240x240 | Head
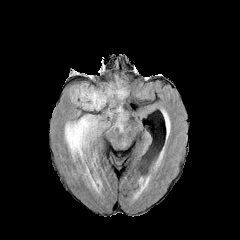
FLAIR magnetic resonance.
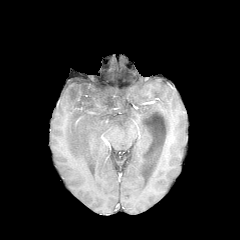
T1-weighted MRI.
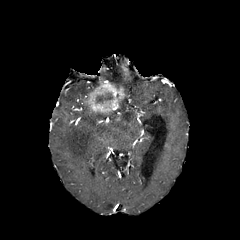
Post-contrast T1-weighted MRI of the same slice.
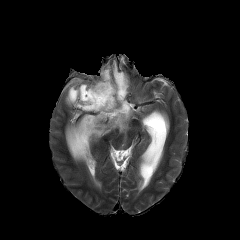
T2-weighted magnetic resonance of the same slice.
necrotic_tumor_core:
  - (97, 95, 112, 101)
enhancing_tumor:
  - (81, 80, 125, 114)
peritumoral_edema:
  - (115, 75, 127, 95)
  - (65, 100, 127, 161)
  - (69, 84, 95, 109)